Brain. Axial view. Slice 59 of 155.
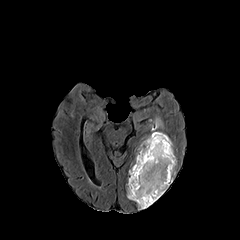
FLAIR MR image.
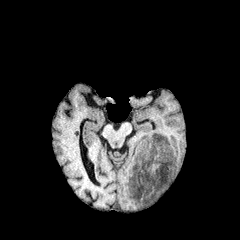
Same slice, T1-weighted MR image.
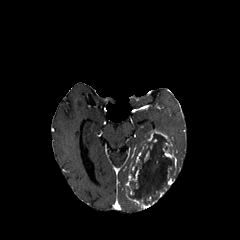
Post-contrast T1-weighted MR.
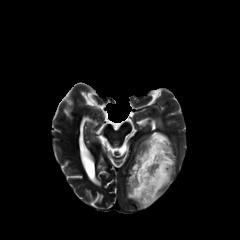
Same slice, T2-weighted MR image.
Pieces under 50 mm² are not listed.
enhancing tumor = box=[131, 146, 143, 170]; box=[126, 168, 138, 194]; box=[147, 130, 176, 167]; box=[126, 192, 164, 209]
peritumoral edema = box=[151, 117, 163, 131]; box=[136, 135, 149, 156]
necrotic tumor core = box=[127, 133, 176, 205]